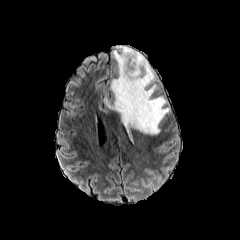
FLAIR magnetic resonance.
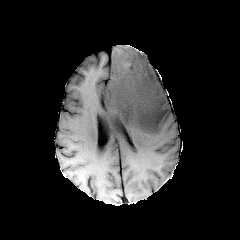
T1-weighted MRI.
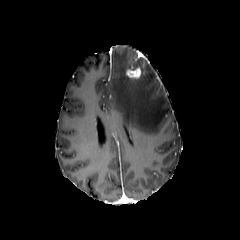
Same slice, post-contrast T1-weighted magnetic resonance.
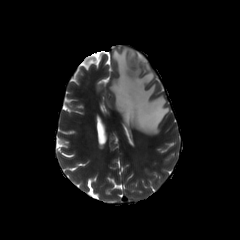
T2-weighted MRI of the same slice.
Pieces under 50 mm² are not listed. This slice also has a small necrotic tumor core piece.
peritumoral_edema:
  - bbox=[105, 45, 170, 134]
enhancing_tumor:
  - bbox=[125, 51, 145, 79]